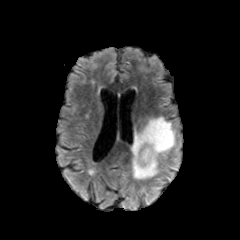
FLAIR magnetic resonance.
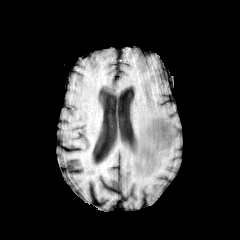
T1-weighted MR image.
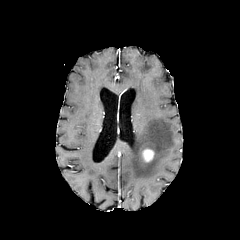
Post-contrast T1-weighted MR image.
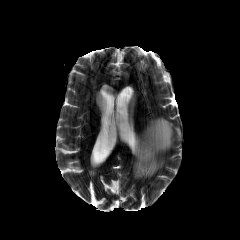
T2-weighted MR.
Axial slice | 240x240 | Brain
enhancing tumor — x1=141, y1=147, x2=154, y2=162
peritumoral edema — x1=131, y1=117, x2=174, y2=179